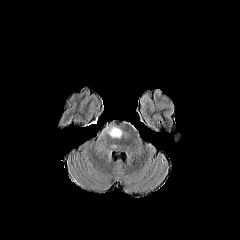
FLAIR magnetic resonance.
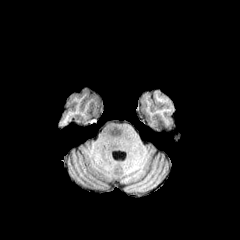
T1-weighted MR image.
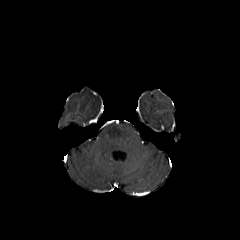
Post-contrast T1-weighted MRI.
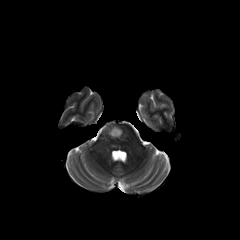
T2-weighted MR image.
Axial plane
{
  "peritumoral_edema": [
    "(left=104, top=125, right=122, bottom=137)"
  ]
}